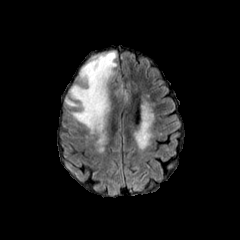
FLAIR MRI.
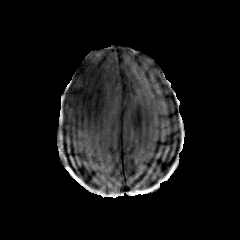
T1-weighted magnetic resonance.
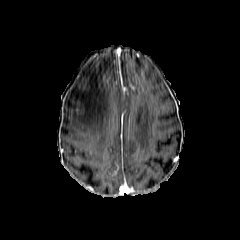
Post-contrast T1-weighted magnetic resonance of the same slice.
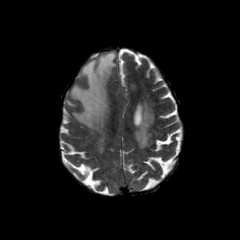
T2-weighted MR image.
Axial view
Annotated regions:
• peritumoral edema: (65,51,126,132)